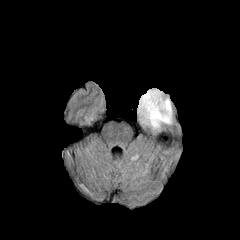
FLAIR MR.
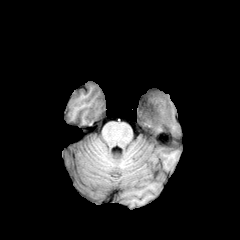
Same slice, T1-weighted MRI.
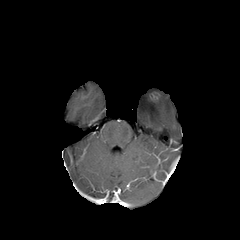
Same slice, post-contrast T1-weighted MR image.
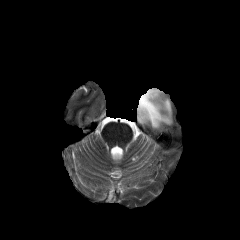
T2-weighted MR image of the same slice.
Head | Axial view | 240x240
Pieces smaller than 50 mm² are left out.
Findings:
• necrotic tumor core: 141:96:158:119
• enhancing tumor: 139:91:159:121
• peritumoral edema: 137:88:172:130